FLAIR MR image.
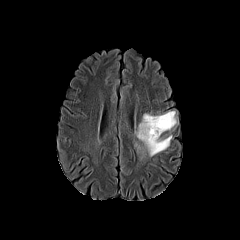
T1-weighted MRI.
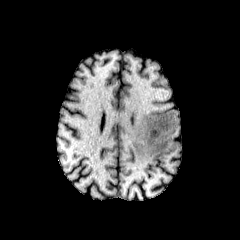
Post-contrast T1-weighted magnetic resonance.
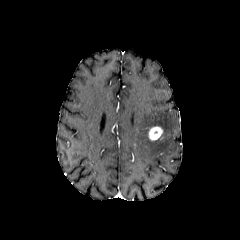
T2-weighted MRI.
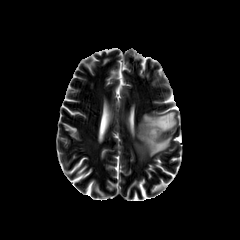
Brain
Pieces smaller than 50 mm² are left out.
peritumoral edema: bbox=[135, 111, 177, 156] | enhancing tumor: bbox=[148, 126, 163, 140]